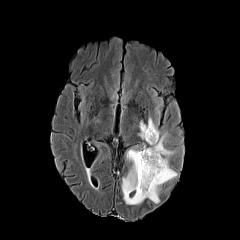
FLAIR MRI.
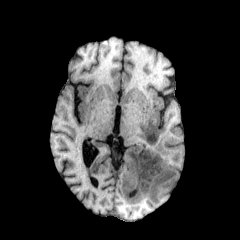
Same slice, T1-weighted magnetic resonance.
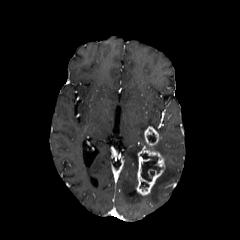
Same slice, post-contrast T1-weighted MRI.
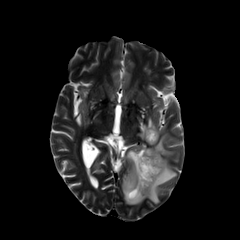
T2-weighted MRI.
Brain
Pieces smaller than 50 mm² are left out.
necrotic_tumor_core:
  - (left=140, top=153, right=162, bottom=181)
  - (left=147, top=133, right=155, bottom=142)
enhancing_tumor:
  - (left=136, top=126, right=165, bottom=195)
peritumoral_edema:
  - (left=122, top=132, right=177, bottom=204)
  - (left=138, top=117, right=157, bottom=139)